Axial plane. Slice index 89. Head.
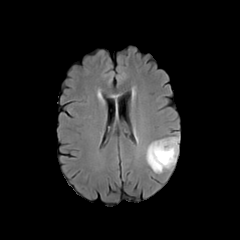
FLAIR MR image.
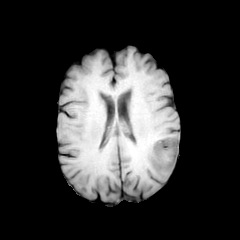
Same slice, T1-weighted magnetic resonance.
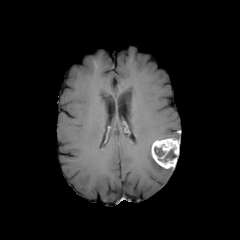
Same slice, post-contrast T1-weighted MR.
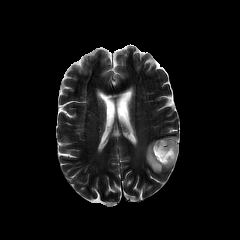
T2-weighted MR image.
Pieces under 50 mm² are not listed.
Annotated regions:
• necrotic tumor core: region(158, 149, 176, 161); region(154, 147, 164, 157)
• peritumoral edema: region(146, 141, 172, 173)
• enhancing tumor: region(151, 138, 179, 168)